Image covers 240 mm x 240 mm, Image size 240x240, Brain
FLAIR MR.
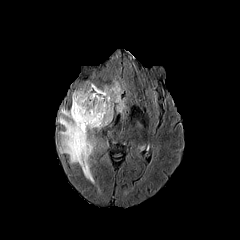
T1-weighted MR.
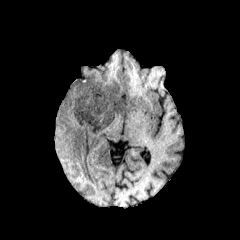
Post-contrast T1-weighted magnetic resonance.
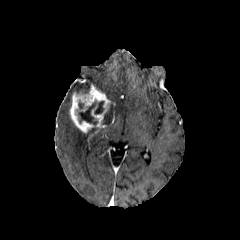
T2-weighted MR.
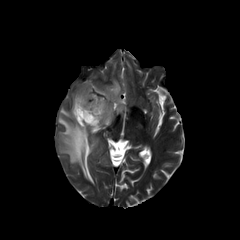
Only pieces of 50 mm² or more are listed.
enhancing tumor: x1=69 y1=87 x2=111 y2=133 | necrotic tumor core: x1=94 y1=101 x2=103 y2=114, x1=78 y1=102 x2=97 y2=124 | peritumoral edema: x1=74 y1=79 x2=126 y2=124, x1=58 y1=107 x2=96 y2=183